Image covers 240 mm x 240 mm; 240x240; Head
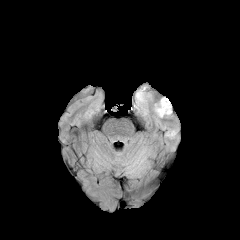
FLAIR magnetic resonance.
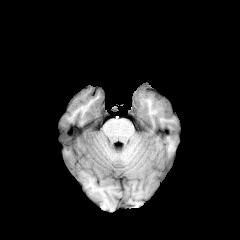
T1-weighted magnetic resonance of the same slice.
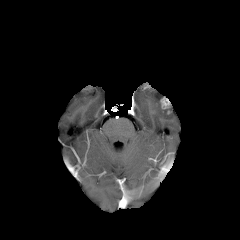
Post-contrast T1-weighted MRI of the same slice.
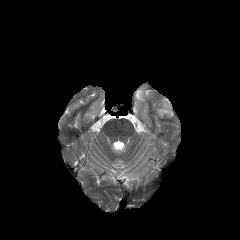
T2-weighted magnetic resonance.
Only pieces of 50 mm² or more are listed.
• enhancing tumor: box=[160, 97, 171, 114]
• peritumoral edema: box=[154, 101, 171, 117]; box=[134, 84, 151, 116]